Brain
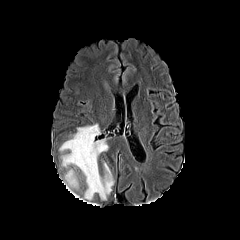
FLAIR MRI.
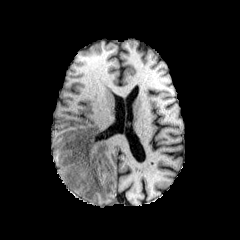
T1-weighted MR of the same slice.
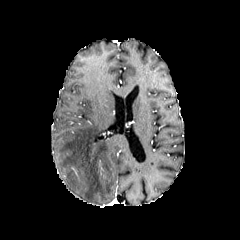
Same slice, post-contrast T1-weighted MRI.
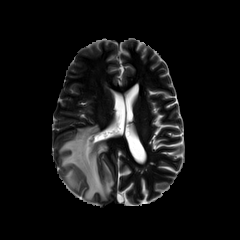
Same slice, T2-weighted magnetic resonance.
Annotated regions:
* peritumoral edema: left=65, top=169, right=78, bottom=190; left=59, top=124, right=113, bottom=200